Slice index 88
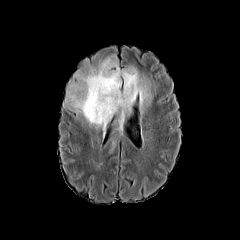
FLAIR magnetic resonance.
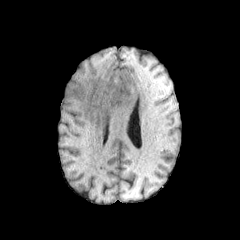
T1-weighted MR image.
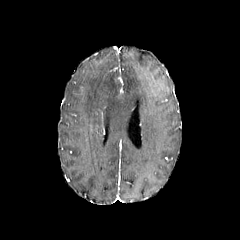
Same slice, post-contrast T1-weighted MR image.
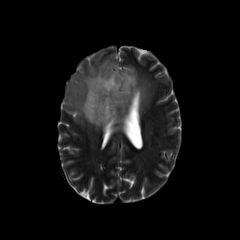
T2-weighted MR image.
peritumoral edema: (66, 58, 152, 129)